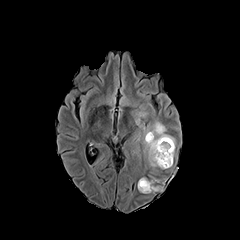
FLAIR MRI.
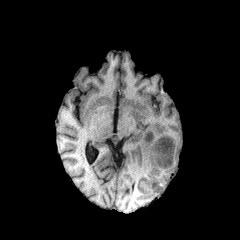
T1-weighted MR.
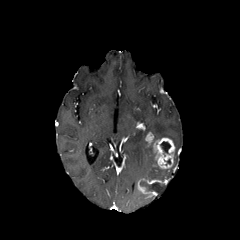
Post-contrast T1-weighted MR image of the same slice.
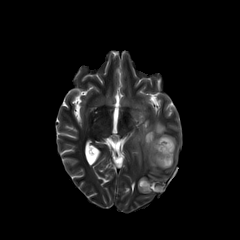
Same slice, T2-weighted MR.
240x240
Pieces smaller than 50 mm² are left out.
necrotic tumor core: (x1=160, y1=141, x2=170, y2=153), (x1=140, y1=181, x2=160, y2=192) | enhancing tumor: (x1=137, y1=178, x2=160, y2=195), (x1=145, y1=132, x2=174, y2=168) | peritumoral edema: (x1=137, y1=121, x2=178, y2=167)